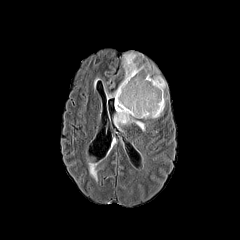
FLAIR MRI.
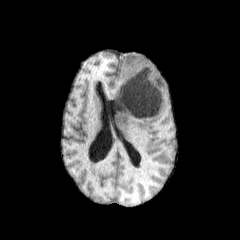
T1-weighted magnetic resonance.
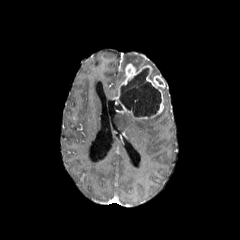
Post-contrast T1-weighted MRI of the same slice.
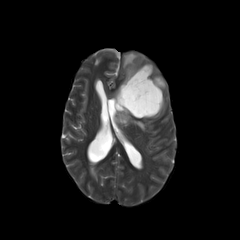
T2-weighted magnetic resonance of the same slice.
Axial plane. 240x240 px. Brain.
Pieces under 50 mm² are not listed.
necrotic_tumor_core:
  - box=[119, 68, 161, 117]
enhancing_tumor:
  - box=[115, 63, 165, 117]
peritumoral_edema:
  - box=[88, 163, 100, 181]
  - box=[123, 53, 139, 69]
  - box=[114, 112, 145, 130]